FLAIR MR image.
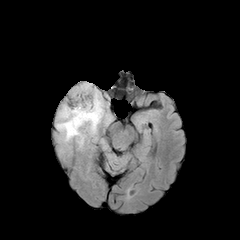
T1-weighted MR image.
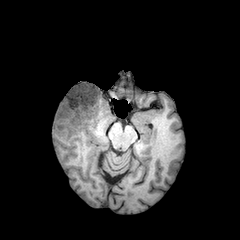
Post-contrast T1-weighted MRI.
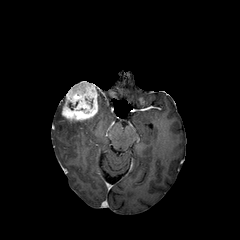
T2-weighted magnetic resonance.
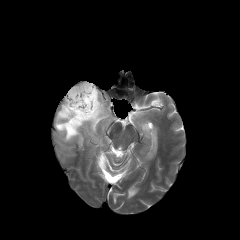
Axial slice; 240x240; Head
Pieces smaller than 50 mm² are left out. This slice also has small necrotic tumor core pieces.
The peritumoral edema is located at [55,89,110,148]. The enhancing tumor is at [61,81,98,122].